FLAIR magnetic resonance.
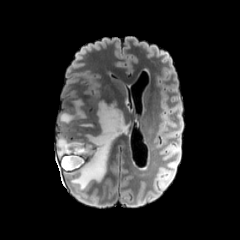
T1-weighted MR image.
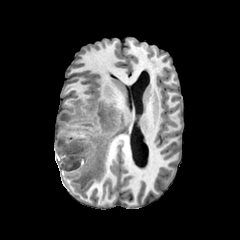
Post-contrast T1-weighted MR image.
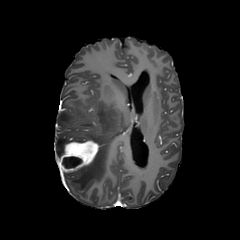
T2-weighted MR image.
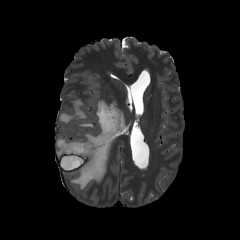
Image size 240x240, Axial slice
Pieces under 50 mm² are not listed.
The necrotic tumor core appears at 62,156,82,168. The 2 largest peritumoral edema regions appear at 60,100,85,123; 56,101,126,190. The enhancing tumor is located at 57,140,99,172.